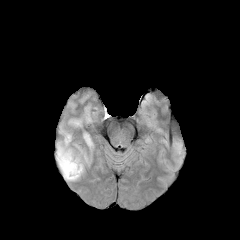
FLAIR MRI.
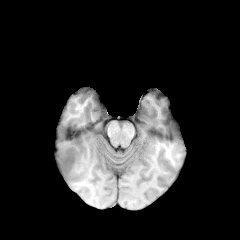
T1-weighted MR image of the same slice.
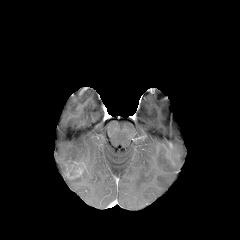
Post-contrast T1-weighted MRI of the same slice.
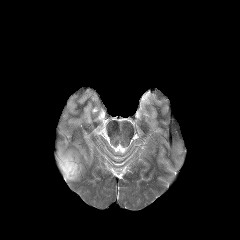
T2-weighted MR image of the same slice.
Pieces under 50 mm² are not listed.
The 3 largest peritumoral edema regions appear at l=75, t=145, r=88, b=162; l=56, t=135, r=84, b=181; l=84, t=133, r=93, b=149.